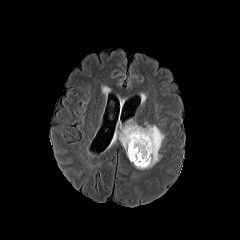
FLAIR MR image.
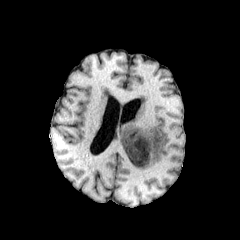
T1-weighted MR image.
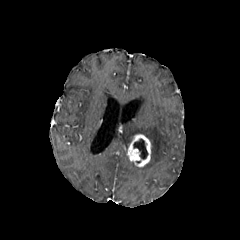
Post-contrast T1-weighted magnetic resonance.
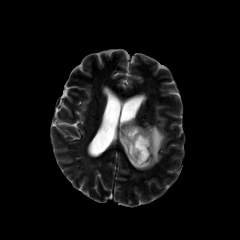
T2-weighted MRI.
Axial slice
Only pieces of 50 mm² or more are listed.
The enhancing tumor is located at box=[126, 134, 151, 167]. The largest necrotic tumor core region lies within box=[133, 139, 147, 159]. The peritumoral edema is located at box=[111, 122, 164, 169].